Image size 240x240; Brain; Axial plane
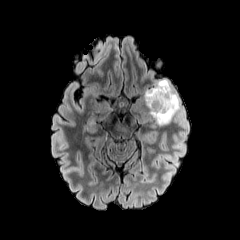
FLAIR MR.
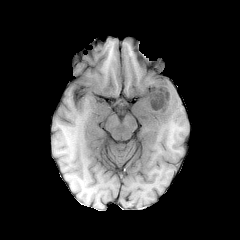
Same slice, T1-weighted magnetic resonance.
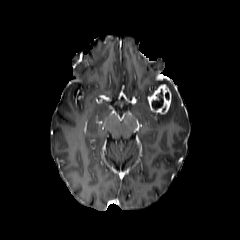
Same slice, post-contrast T1-weighted MR image.
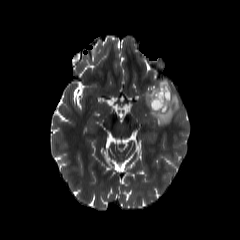
Same slice, T2-weighted MRI.
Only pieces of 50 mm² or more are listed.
necrotic tumor core = l=152, t=89, r=163, b=109
peritumoral edema = l=144, t=78, r=180, b=126
enhancing tumor = l=147, t=84, r=171, b=114